FLAIR magnetic resonance.
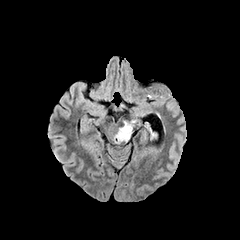
T1-weighted MR.
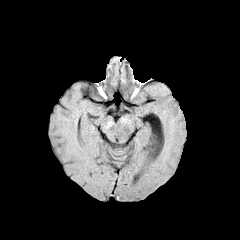
Post-contrast T1-weighted MR.
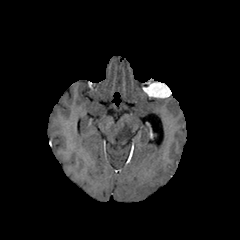
T2-weighted MRI.
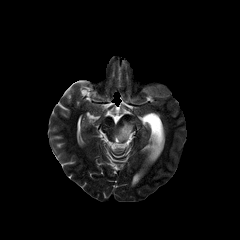
Brain; Axial plane; 240x240
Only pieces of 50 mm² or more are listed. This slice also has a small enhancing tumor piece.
peritumoral edema: left=114, top=120, right=136, bottom=142